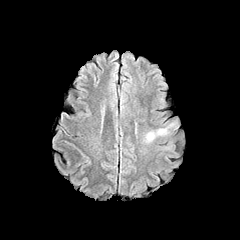
FLAIR magnetic resonance.
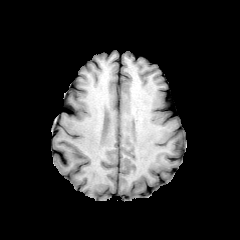
T1-weighted magnetic resonance.
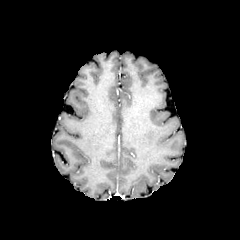
Post-contrast T1-weighted MR image of the same slice.
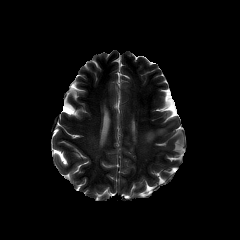
T2-weighted MR.
Axial view
The peritumoral edema is located at [145, 129, 166, 142].